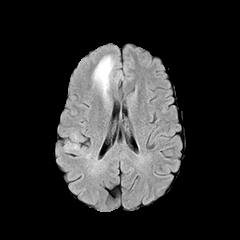
FLAIR MR.
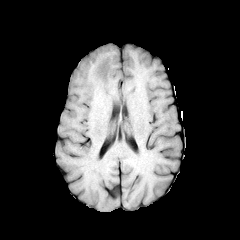
Same slice, T1-weighted MRI.
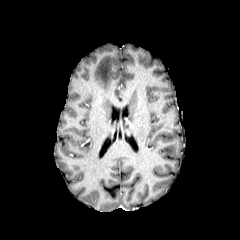
Post-contrast T1-weighted MR image.
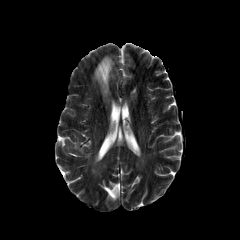
T2-weighted MR image of the same slice.
Image size 240x240 | Brain
• peritumoral edema: 93,55,114,97